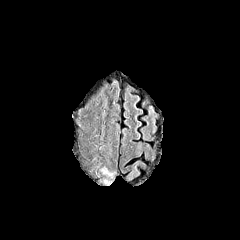
FLAIR MR.
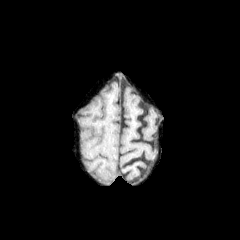
Same slice, T1-weighted magnetic resonance.
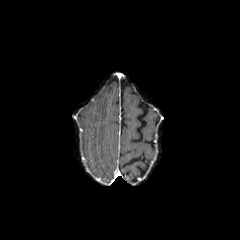
Post-contrast T1-weighted MR.
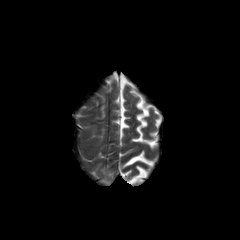
T2-weighted MRI of the same slice.
Brain
The peritumoral edema lies within [x1=100, y1=166, x2=115, y2=185].